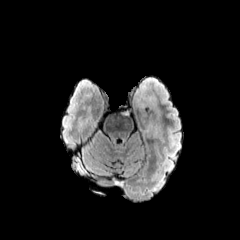
FLAIR MR image.
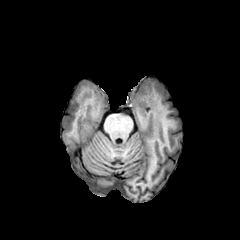
T1-weighted MR image.
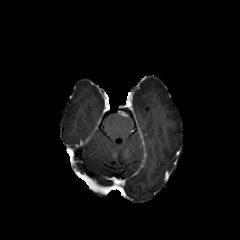
Post-contrast T1-weighted MR image of the same slice.
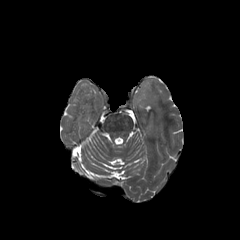
Same slice, T2-weighted magnetic resonance.
Brain
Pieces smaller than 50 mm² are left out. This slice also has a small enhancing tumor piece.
The peritumoral edema is located at 137 94 160 107.